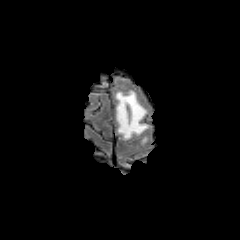
FLAIR MRI.
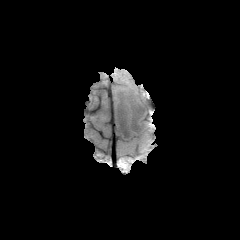
Same slice, T1-weighted MRI.
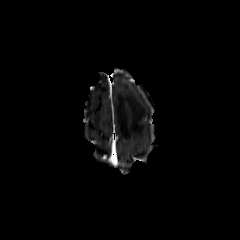
Post-contrast T1-weighted magnetic resonance of the same slice.
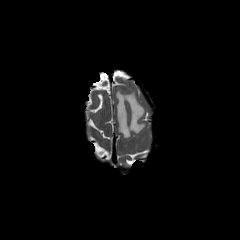
T2-weighted MR image.
Head
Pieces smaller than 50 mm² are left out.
peritumoral_edema:
  - bbox(115, 90, 148, 139)